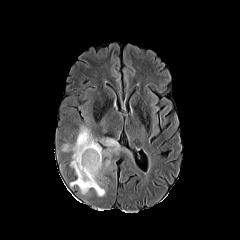
FLAIR MR.
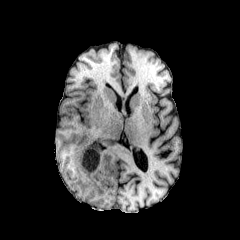
Same slice, T1-weighted MR.
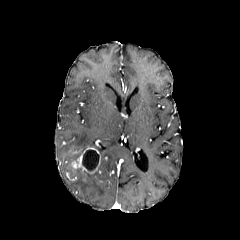
Post-contrast T1-weighted MR.
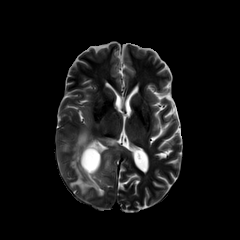
T2-weighted MR.
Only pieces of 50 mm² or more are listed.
necrotic tumor core: <box>82,150,99,170</box>
enhancing tumor: <box>72,146,100,173</box>
peritumoral edema: <box>70,127,119,196</box>, <box>105,159,110,168</box>